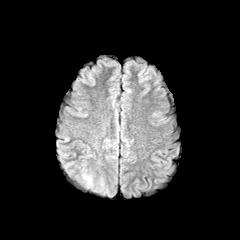
FLAIR MR.
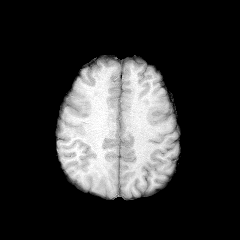
Same slice, T1-weighted MRI.
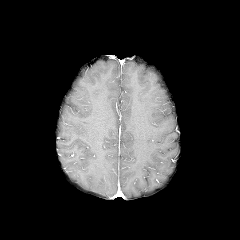
Post-contrast T1-weighted MRI.
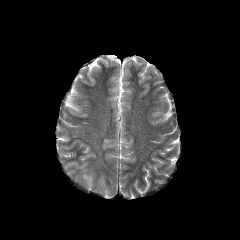
Same slice, T2-weighted MRI.
240x240. Axial view.
2 peritumoral edema regions are located at x1=100 y1=178 x2=108 y2=194, x1=82 y1=173 x2=93 y2=187.